Head. Image size 240x240.
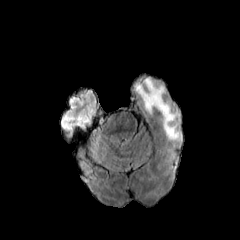
FLAIR magnetic resonance.
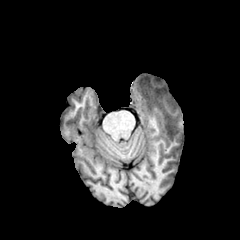
Same slice, T1-weighted MR.
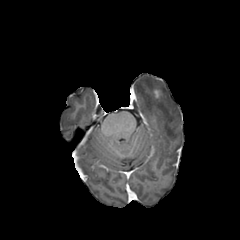
Post-contrast T1-weighted MRI of the same slice.
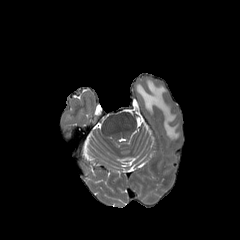
T2-weighted MR.
{
  "peritumoral_edema": [
    "[135,77,181,140]"
  ],
  "enhancing_tumor": [
    "[153,89,161,99]"
  ]
}